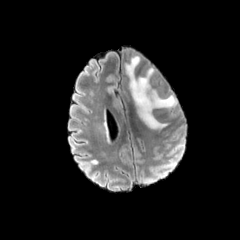
FLAIR MR.
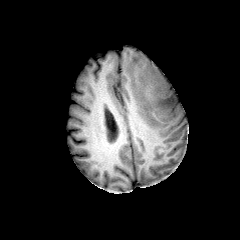
T1-weighted magnetic resonance.
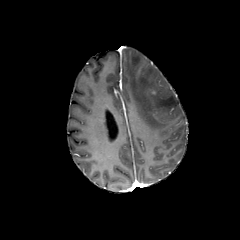
Same slice, post-contrast T1-weighted MR.
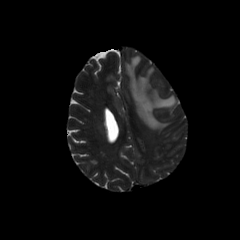
T2-weighted magnetic resonance.
Brain
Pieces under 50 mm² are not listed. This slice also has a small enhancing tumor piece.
The peritumoral edema is located at (x1=125, y1=56, x2=177, y2=129).